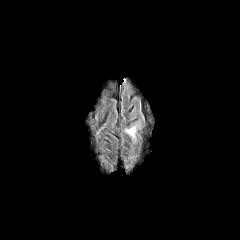
FLAIR MR image.
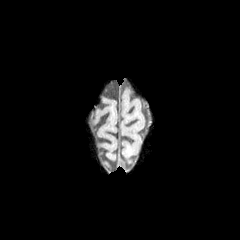
T1-weighted MR image.
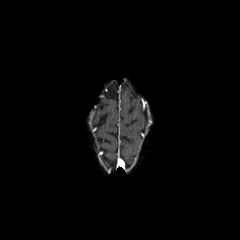
Same slice, post-contrast T1-weighted MRI.
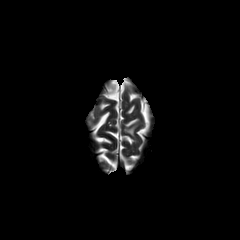
T2-weighted MR image.
240x240 px
The peritumoral edema lies within 125:126:135:137.